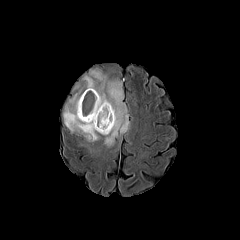
FLAIR magnetic resonance.
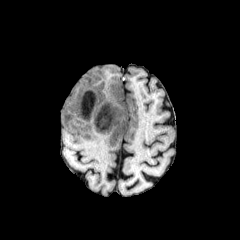
T1-weighted MR of the same slice.
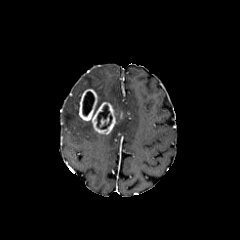
Post-contrast T1-weighted MR image.
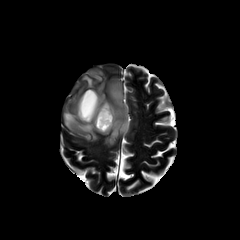
T2-weighted magnetic resonance of the same slice.
Head
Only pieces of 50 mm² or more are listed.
peritumoral edema: <bbox>63, 87, 99, 141</bbox>, <bbox>73, 68, 130, 146</bbox> | enhancing tumor: <bbox>78, 89, 116, 134</bbox> | necrotic tumor core: <bbox>83, 91, 94, 115</bbox>, <bbox>97, 105, 109, 127</bbox>, <bbox>100, 115, 112, 129</bbox>